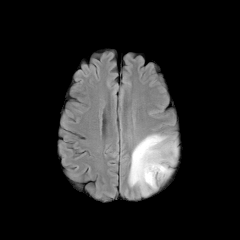
FLAIR MR image.
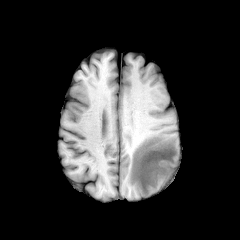
Same slice, T1-weighted magnetic resonance.
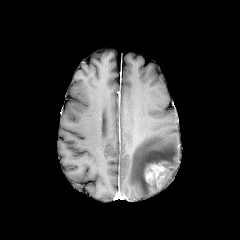
Same slice, post-contrast T1-weighted MR.
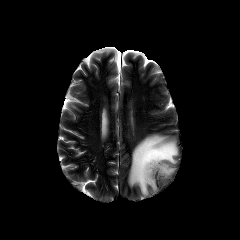
Same slice, T2-weighted MRI.
enhancing tumor at (left=145, top=163, right=167, bottom=184)
peritumoral edema at (left=128, top=134, right=177, bottom=195)